FLAIR MR image.
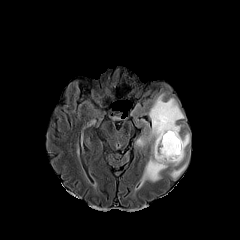
T1-weighted MR image.
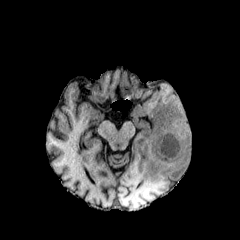
Post-contrast T1-weighted MR image.
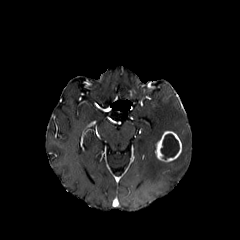
T2-weighted MRI.
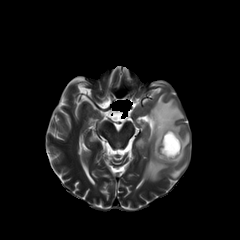
Head; Image size 240x240
necrotic_tumor_core:
  - (160, 134, 179, 159)
enhancing_tumor:
  - (155, 131, 181, 162)
peritumoral_edema:
  - (135, 93, 190, 184)